Head | Slice 91/155
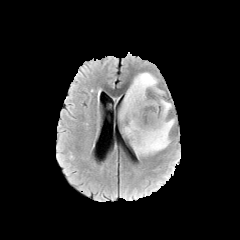
FLAIR magnetic resonance.
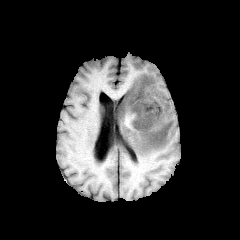
T1-weighted MR image.
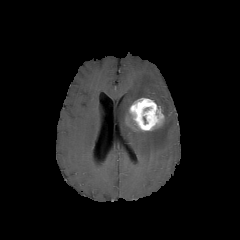
Post-contrast T1-weighted MRI of the same slice.
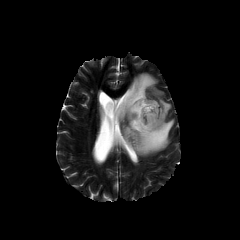
T2-weighted MRI of the same slice.
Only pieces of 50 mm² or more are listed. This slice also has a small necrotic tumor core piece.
The peritumoral edema is at (x1=118, y1=72, x2=175, y2=157). The enhancing tumor is bounded by (x1=128, y1=97, x2=164, y2=131).